FLAIR magnetic resonance.
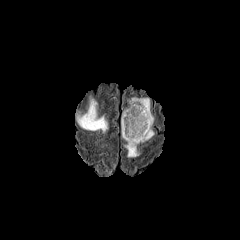
T1-weighted MR.
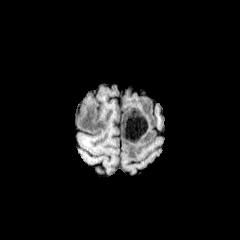
Post-contrast T1-weighted magnetic resonance.
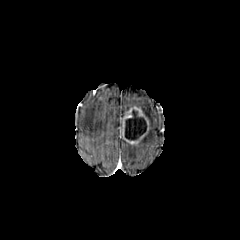
T2-weighted MR image.
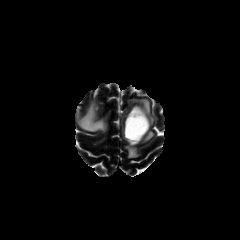
240x240 px. Axial view. Head.
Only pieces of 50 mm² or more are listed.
The 3 largest peritumoral edema regions are bounded by 124, 143, 139, 157; 77, 100, 107, 132; 129, 98, 154, 142. The enhancing tumor is at 121, 106, 149, 145. The necrotic tumor core appears at 125, 110, 146, 140.